FLAIR magnetic resonance.
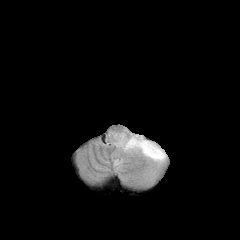
T1-weighted MR image.
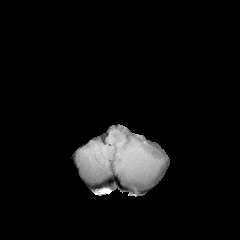
Post-contrast T1-weighted MR.
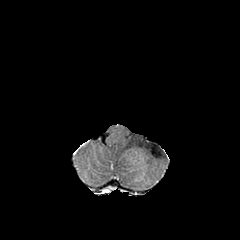
T2-weighted MR.
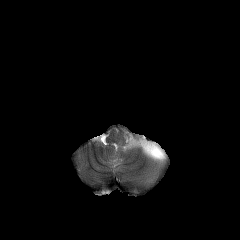
Axial plane, 240x240
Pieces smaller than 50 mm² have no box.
peritumoral edema at l=112, t=130, r=167, b=182